Brain. Axial view. Image width 240 mm.
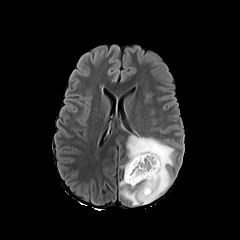
FLAIR MRI.
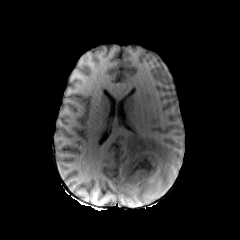
Same slice, T1-weighted MR.
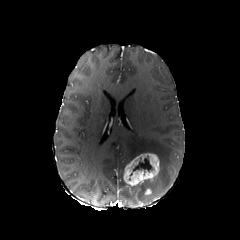
Same slice, post-contrast T1-weighted MR.
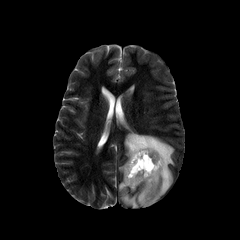
T2-weighted MR of the same slice.
necrotic tumor core: l=130, t=156, r=152, b=175 | peritumoral edema: l=119, t=134, r=174, b=205 | enhancing tumor: l=124, t=153, r=159, b=186; l=144, t=188, r=152, b=198